Head, Axial view, Slice index 110
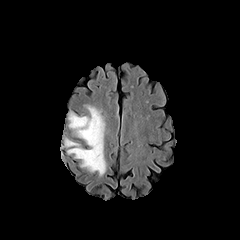
FLAIR MR image.
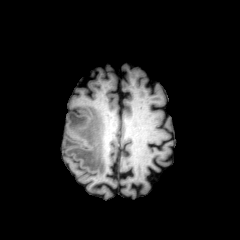
T1-weighted MR image of the same slice.
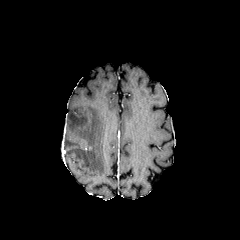
Post-contrast T1-weighted MRI of the same slice.
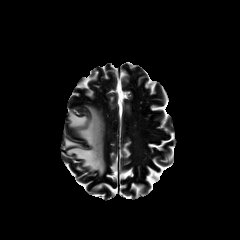
Same slice, T2-weighted MRI.
peritumoral edema: [65,105,106,176]